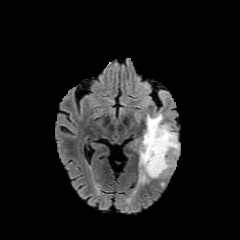
FLAIR magnetic resonance.
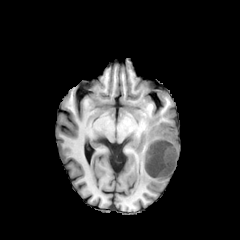
T1-weighted magnetic resonance of the same slice.
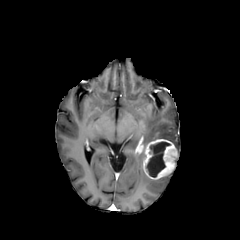
Same slice, post-contrast T1-weighted MR.
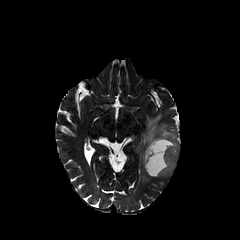
T2-weighted MR image.
240x240
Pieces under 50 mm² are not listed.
The largest enhancing tumor region is at 143 139 177 179. The largest peritumoral edema region appears at 138 113 179 183. The necrotic tumor core lies within 146 142 170 177.